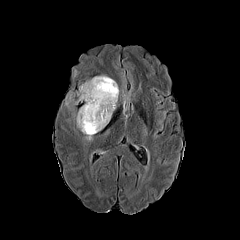
FLAIR magnetic resonance.
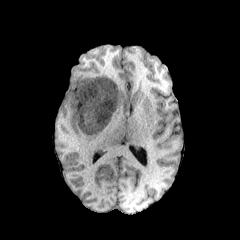
T1-weighted MR image.
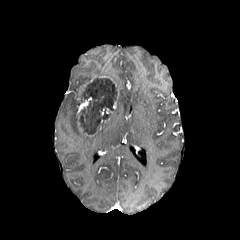
Post-contrast T1-weighted MR of the same slice.
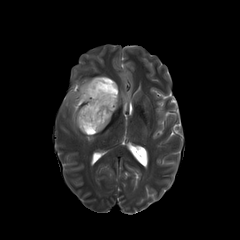
T2-weighted magnetic resonance.
Image size 240x240
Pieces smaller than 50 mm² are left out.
necrotic tumor core: 80, 78, 117, 134 | peritumoral edema: 77, 113, 86, 134; 123, 93, 130, 110; 65, 92, 81, 107 | enhancing tumor: 79, 97, 91, 112; 79, 76, 112, 95